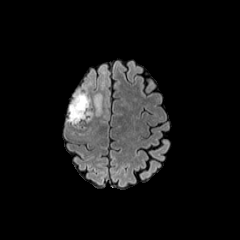
FLAIR magnetic resonance.
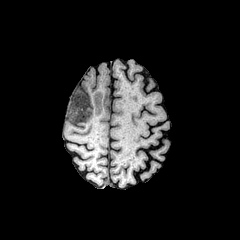
T1-weighted MRI.
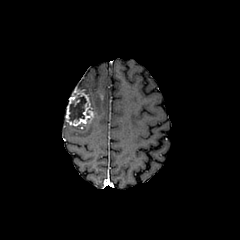
Same slice, post-contrast T1-weighted magnetic resonance.
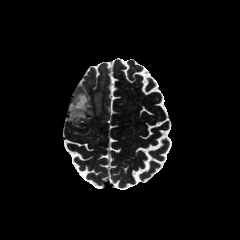
Same slice, T2-weighted MR.
Brain
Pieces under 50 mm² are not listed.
necrotic_tumor_core:
  - [69, 95, 86, 121]
enhancing_tumor:
  - [66, 89, 94, 125]
peritumoral_edema:
  - [94, 68, 107, 115]